Head. Image covers 240 mm x 240 mm.
FLAIR magnetic resonance.
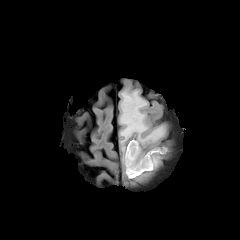
T1-weighted MR image.
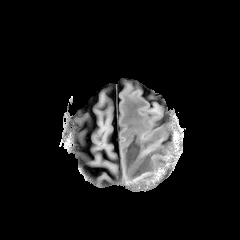
Post-contrast T1-weighted magnetic resonance.
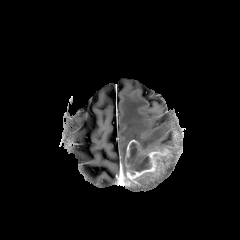
T2-weighted MRI.
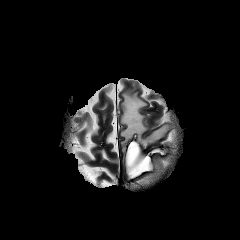
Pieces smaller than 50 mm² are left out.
peritumoral edema — (left=120, top=92, right=165, bottom=163)
enhancing tumor — (left=125, top=140, right=167, bottom=179)
necrotic tumor core — (left=127, top=142, right=150, bottom=171)